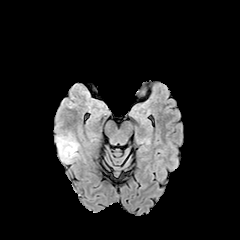
FLAIR MRI.
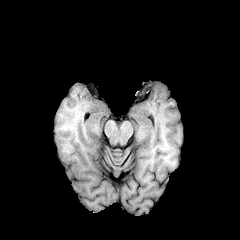
T1-weighted MR image of the same slice.
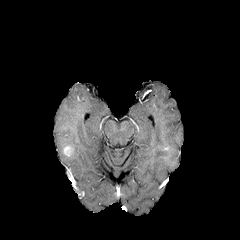
Post-contrast T1-weighted MR.
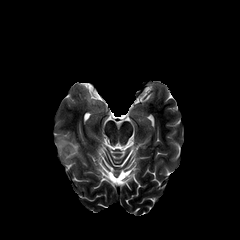
T2-weighted MR of the same slice.
Image size 240x240; Axial plane; Brain
The enhancing tumor is located at 63, 145, 73, 156. The peritumoral edema appears at 56, 134, 79, 163.